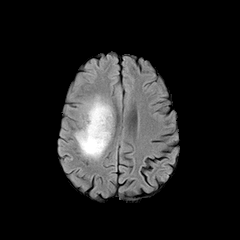
FLAIR magnetic resonance.
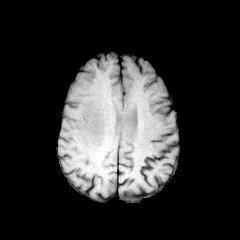
Same slice, T1-weighted MR image.
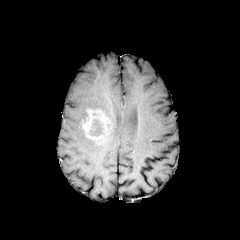
Post-contrast T1-weighted magnetic resonance of the same slice.
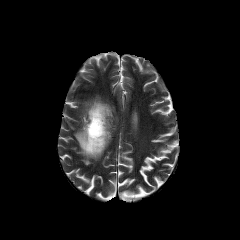
T2-weighted MRI.
Brain, 240x240 px
The necrotic tumor core is located at (93,120,101,135). The peritumoral edema is bounded by (75,97,112,159). The enhancing tumor is at (83,109,107,144).